Head, Slice index 80
FLAIR MR.
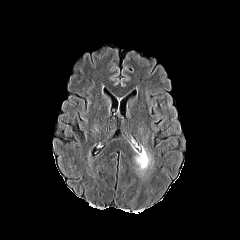
T1-weighted magnetic resonance.
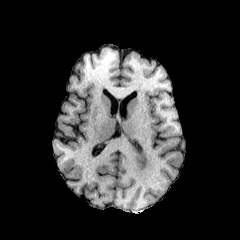
Post-contrast T1-weighted magnetic resonance.
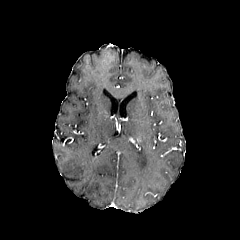
T2-weighted MRI.
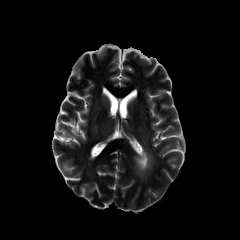
* peritumoral edema: <box>133,146,150,170</box>